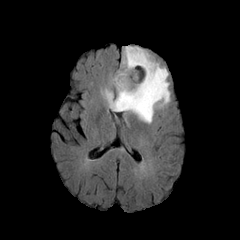
FLAIR MR image.
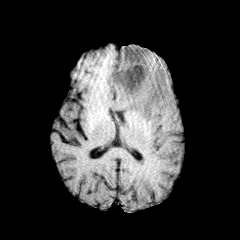
T1-weighted MR image of the same slice.
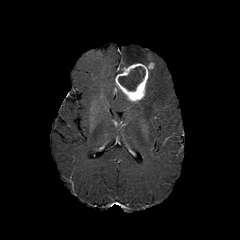
Post-contrast T1-weighted MRI.
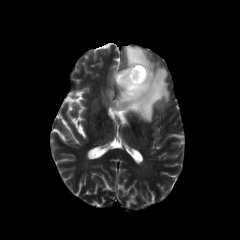
T2-weighted magnetic resonance of the same slice.
Image size 240x240 | Head
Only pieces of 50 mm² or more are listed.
enhancing tumor = rect(115, 62, 154, 103)
necrotic tumor core = rect(118, 66, 144, 90)
peritumoral edema = rect(104, 46, 170, 123)